Slice 113 of 155, Image size 240x240, Axial view, Head
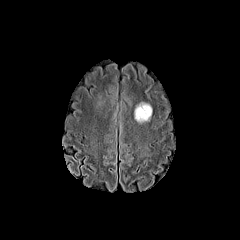
FLAIR magnetic resonance.
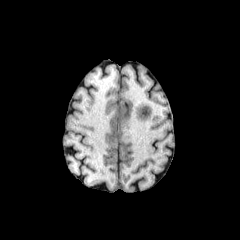
Same slice, T1-weighted MR image.
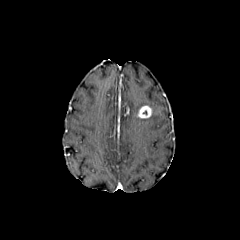
Post-contrast T1-weighted MRI of the same slice.
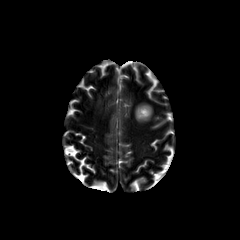
T2-weighted MRI.
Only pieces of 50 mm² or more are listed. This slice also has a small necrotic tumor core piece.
peritumoral edema — 135:102:150:122
enhancing tumor — 137:105:151:118